FLAIR MR.
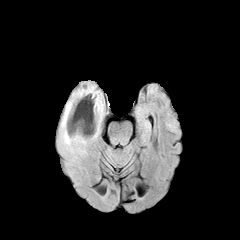
T1-weighted MR.
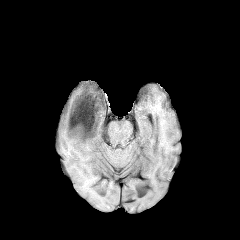
Post-contrast T1-weighted MR image.
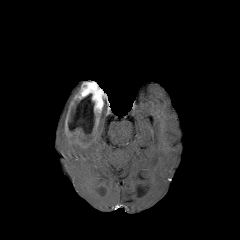
T2-weighted magnetic resonance.
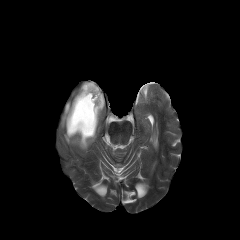
Brain. Axial plane.
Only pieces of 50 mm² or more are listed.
{"necrotic_tumor_core": ["[68, 94, 94, 136]"], "enhancing_tumor": ["[64, 81, 104, 147]"], "peritumoral_edema": ["[86, 105, 104, 144]", "[60, 89, 89, 153]"]}